FLAIR magnetic resonance.
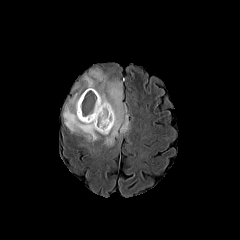
T1-weighted MR.
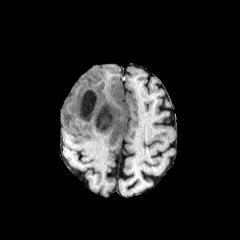
Post-contrast T1-weighted MR image.
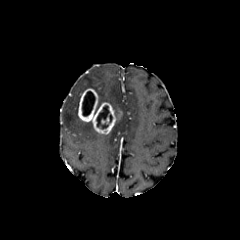
T2-weighted MRI.
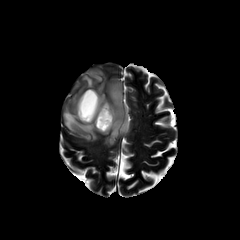
Axial view; Head; 240x240 px
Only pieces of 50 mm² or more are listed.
<segmentation>
  <necrotic_tumor_core>82,91,95,116; 97,105,109,129</necrotic_tumor_core>
  <peritumoral_edema>63,68,130,146</peritumoral_edema>
  <enhancing_tumor>78,88,117,134</enhancing_tumor>
</segmentation>